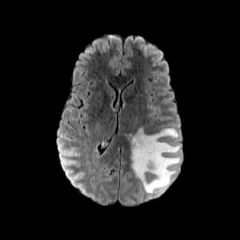
FLAIR MR.
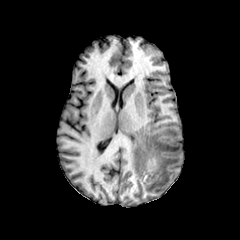
T1-weighted magnetic resonance.
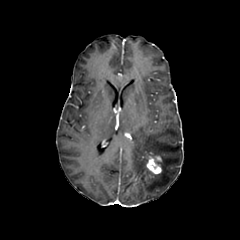
Post-contrast T1-weighted MR.
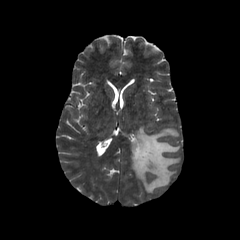
T2-weighted MRI.
Brain.
<segmentation>
  <enhancing_tumor>(140, 151, 162, 174)</enhancing_tumor>
  <peritumoral_edema>(125, 128, 180, 194)</peritumoral_edema>
</segmentation>